Image covers 240 mm x 240 mm, Head, 240x240 px, Axial plane
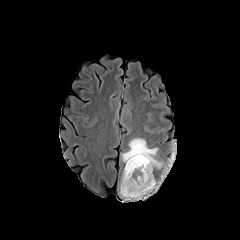
FLAIR MR image.
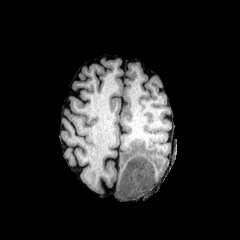
T1-weighted MRI.
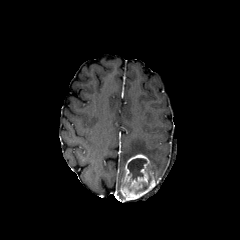
Post-contrast T1-weighted MR image of the same slice.
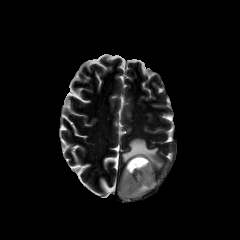
T2-weighted MRI.
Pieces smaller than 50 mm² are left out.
The largest necrotic tumor core region is bounded by <box>127,158,146,180</box>. The peritumoral edema lies within <box>122,138,163,169</box>. The enhancing tumor is located at <box>120,154,155,201</box>.